FLAIR MR.
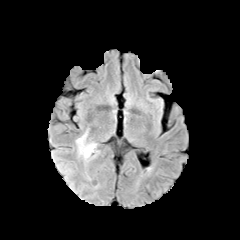
T1-weighted magnetic resonance.
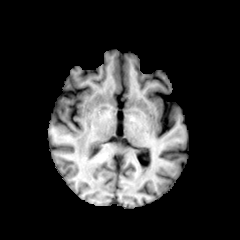
Post-contrast T1-weighted MR image.
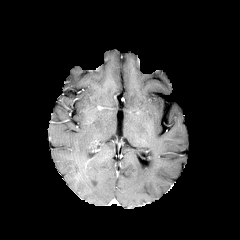
T2-weighted MR image.
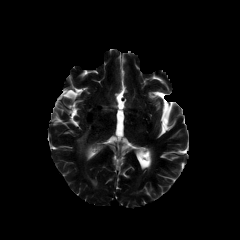
Image size 240x240. Head. Axial plane.
<segmentation>
  <peritumoral_edema>bbox(76, 131, 96, 158)</peritumoral_edema>
</segmentation>